Slice 101 of 155 | Image size 240x240
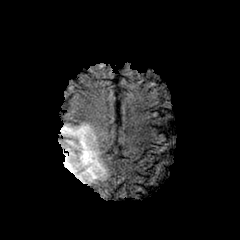
FLAIR MRI.
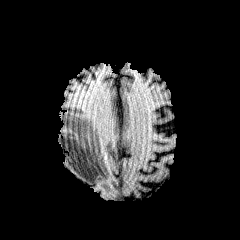
Same slice, T1-weighted MR.
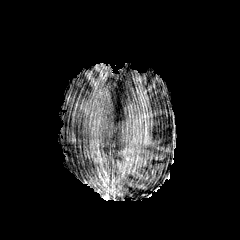
Post-contrast T1-weighted MR image of the same slice.
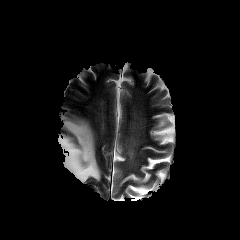
Same slice, T2-weighted MRI.
peritumoral edema: bbox(58, 114, 108, 182)